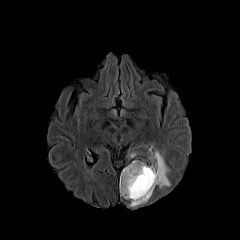
FLAIR magnetic resonance.
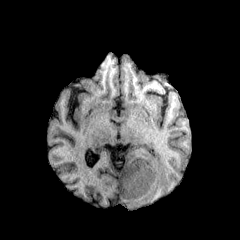
Same slice, T1-weighted magnetic resonance.
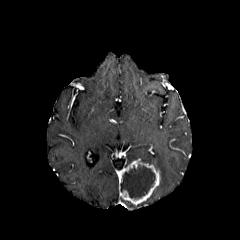
Same slice, post-contrast T1-weighted MR.
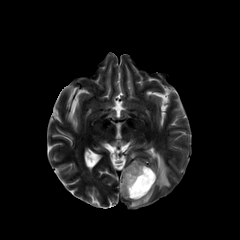
Same slice, T2-weighted MR.
Head, 240x240 px
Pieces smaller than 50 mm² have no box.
necrotic tumor core: left=121, top=165, right=155, bottom=198
peritumoral edema: left=129, top=198, right=149, bottom=207; left=149, top=150, right=170, bottom=189
enhancing tumor: left=119, top=159, right=160, bottom=205